FLAIR MR.
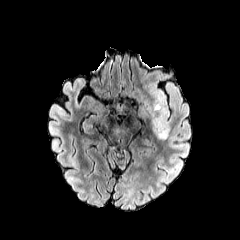
T1-weighted MRI.
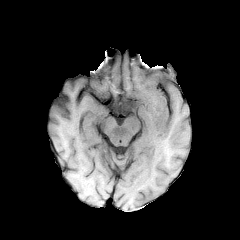
Post-contrast T1-weighted MR image.
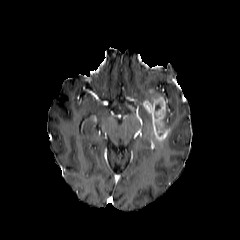
T2-weighted magnetic resonance.
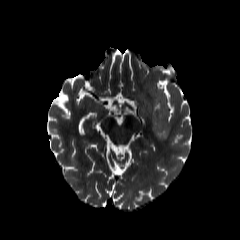
Brain
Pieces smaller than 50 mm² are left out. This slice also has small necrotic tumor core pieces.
peritumoral edema: region(150, 85, 165, 98) | enhancing tumor: region(142, 89, 170, 141)